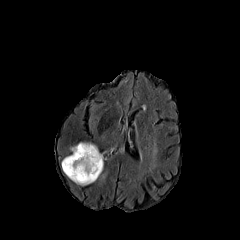
FLAIR MRI.
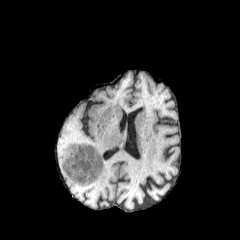
T1-weighted magnetic resonance.
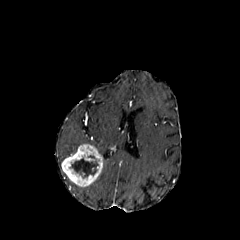
Post-contrast T1-weighted MR.
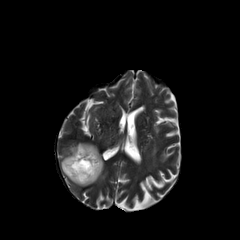
Same slice, T2-weighted MR image.
Axial slice
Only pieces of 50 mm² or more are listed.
<segmentation>
  <enhancing_tumor>box=[61, 144, 103, 186]</enhancing_tumor>
  <peritumoral_edema>box=[70, 142, 97, 153]</peritumoral_edema>
  <necrotic_tumor_core>box=[70, 158, 98, 178]</necrotic_tumor_core>
</segmentation>